Head
FLAIR MR image.
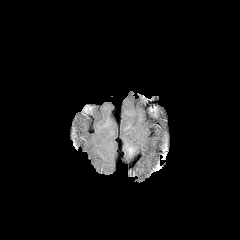
T1-weighted magnetic resonance.
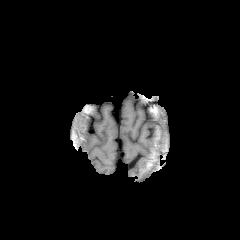
Post-contrast T1-weighted MRI.
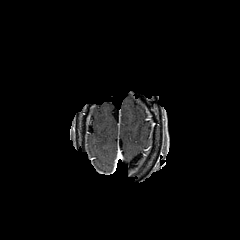
T2-weighted MR.
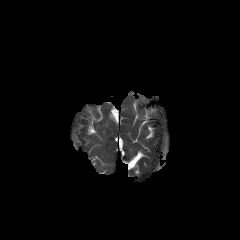
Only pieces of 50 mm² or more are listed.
peritumoral edema at <bbox>126, 145, 135, 155</bbox>